FLAIR MRI.
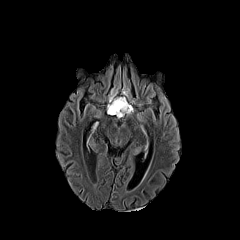
T1-weighted MR.
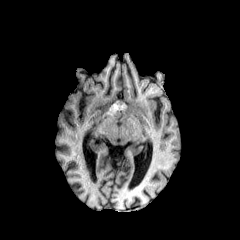
Post-contrast T1-weighted MRI.
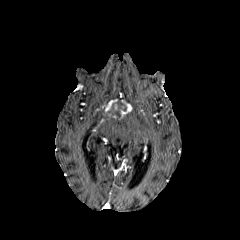
T2-weighted MRI.
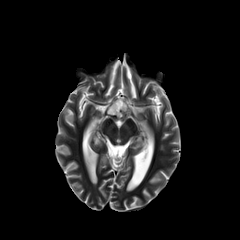
Brain | Axial plane
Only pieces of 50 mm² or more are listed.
<segmentation>
  <enhancing_tumor>107, 99, 117, 115; 120, 100, 131, 116</enhancing_tumor>
  <peritumoral_edema>109, 89, 126, 101</peritumoral_edema>
  <necrotic_tumor_core>108, 99, 126, 117</necrotic_tumor_core>
</segmentation>